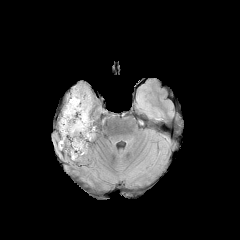
FLAIR MRI.
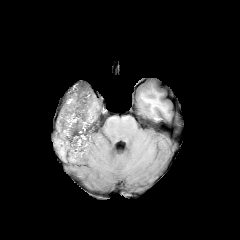
T1-weighted magnetic resonance of the same slice.
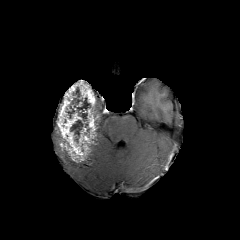
Post-contrast T1-weighted MR image.
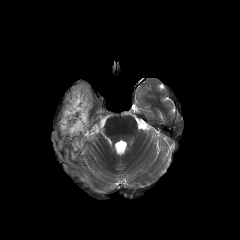
Same slice, T2-weighted MRI.
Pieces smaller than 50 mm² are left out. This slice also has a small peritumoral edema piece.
<segmentation>
  <enhancing_tumor>(left=57, top=81, right=98, bottom=162)</enhancing_tumor>
  <necrotic_tumor_core>(left=70, top=120, right=83, bottom=142), (left=67, top=87, right=90, bottom=121)</necrotic_tumor_core>
</segmentation>